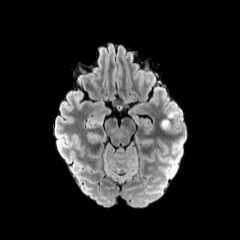
FLAIR MR image.
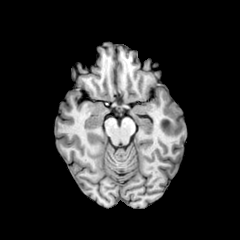
Same slice, T1-weighted MRI.
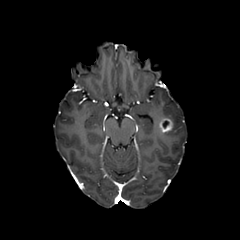
Post-contrast T1-weighted MR image.
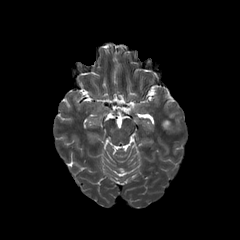
T2-weighted MRI of the same slice.
Axial plane. 240x240.
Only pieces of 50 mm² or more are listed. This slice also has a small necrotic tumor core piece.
peritumoral_edema:
  - {"x1": 168, "y1": 111, "x2": 178, "y2": 118}
enhancing_tumor:
  - {"x1": 159, "y1": 118, "x2": 173, "y2": 132}